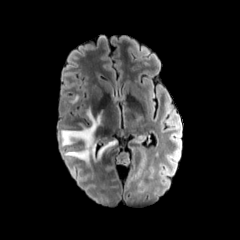
FLAIR magnetic resonance.
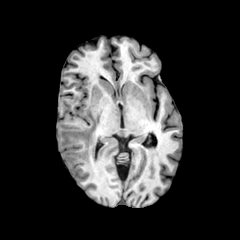
T1-weighted magnetic resonance.
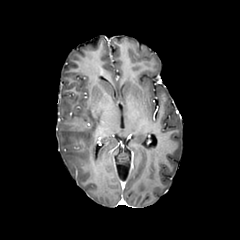
Post-contrast T1-weighted MR of the same slice.
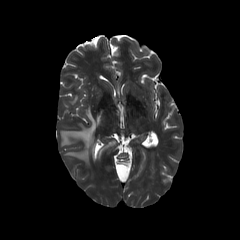
T2-weighted MR image of the same slice.
Axial slice, 240x240 px
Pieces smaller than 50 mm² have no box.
peritumoral edema = (x1=61, y1=107, x2=102, y2=162), (x1=100, y1=140, x2=116, y2=153)